Brain
FLAIR MR image.
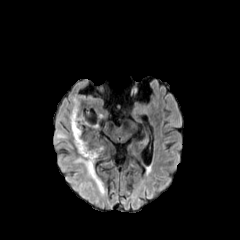
T1-weighted MR.
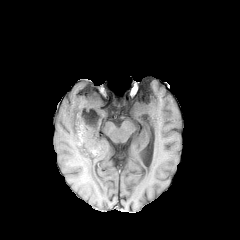
Post-contrast T1-weighted magnetic resonance.
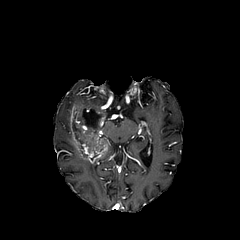
T2-weighted MR image.
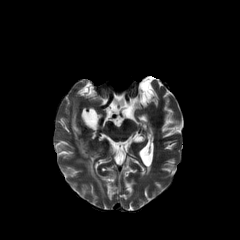
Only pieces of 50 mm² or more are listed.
necrotic tumor core: l=82, t=109, r=100, b=129; l=73, t=120, r=83, b=149 | enhancing tumor: l=67, t=100, r=109, b=164 | peritumoral edema: l=74, t=156, r=103, b=190; l=57, t=133, r=67, b=138